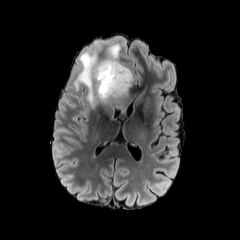
FLAIR MR.
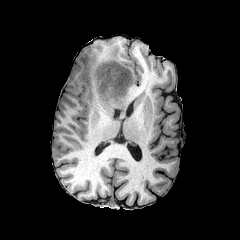
Same slice, T1-weighted MR.
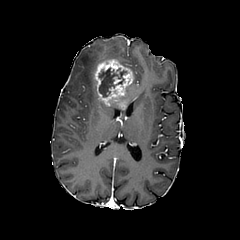
Post-contrast T1-weighted MRI of the same slice.
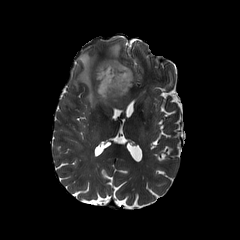
T2-weighted MR image.
Head
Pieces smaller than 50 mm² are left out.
Annotated regions:
* necrotic tumor core: bbox=[98, 62, 125, 97]
* enhancing tumor: bbox=[94, 59, 133, 106]
* peritumoral edema: bbox=[105, 44, 119, 59]; bbox=[74, 52, 100, 108]